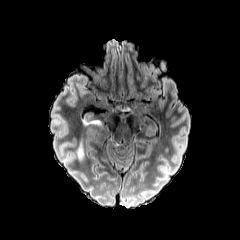
FLAIR MR image.
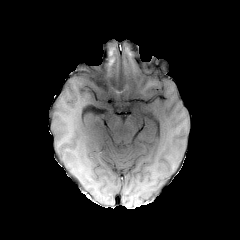
T1-weighted magnetic resonance.
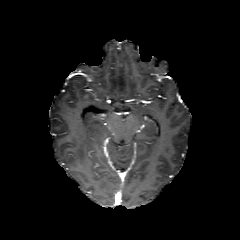
Post-contrast T1-weighted MR image.
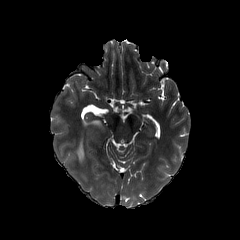
T2-weighted magnetic resonance of the same slice.
Head | Axial view
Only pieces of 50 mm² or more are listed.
peritumoral edema — box(77, 141, 84, 161); box(91, 120, 101, 126)